FLAIR magnetic resonance.
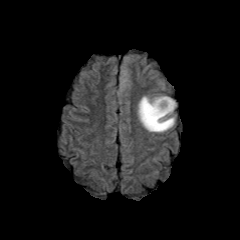
T1-weighted MRI.
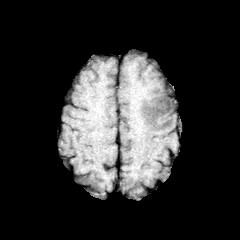
Post-contrast T1-weighted MR image.
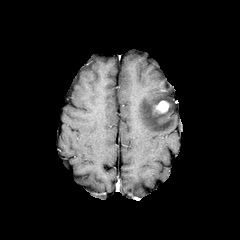
T2-weighted magnetic resonance.
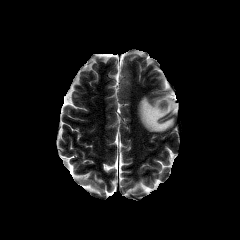
Brain
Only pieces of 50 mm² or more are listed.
The largest enhancing tumor region is bounded by box(154, 100, 169, 113). The largest peritumoral edema region is bounded by box(138, 96, 176, 132).